Axial view; 240x240 px
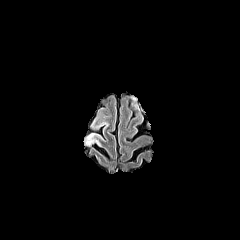
FLAIR MR.
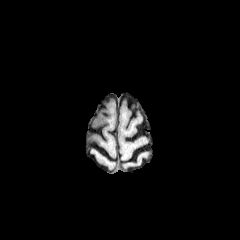
Same slice, T1-weighted MRI.
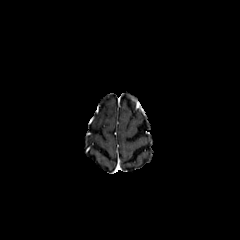
Post-contrast T1-weighted MRI.
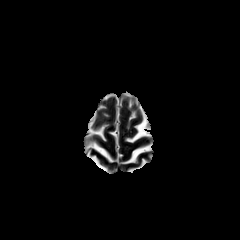
Same slice, T2-weighted MR.
peritumoral edema = [87, 134, 95, 144]